FLAIR MR image.
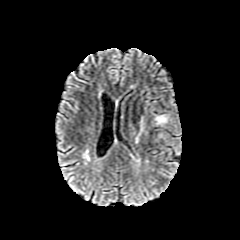
T1-weighted magnetic resonance.
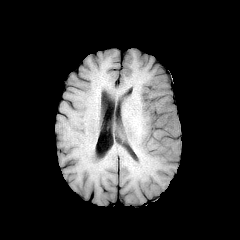
Post-contrast T1-weighted magnetic resonance.
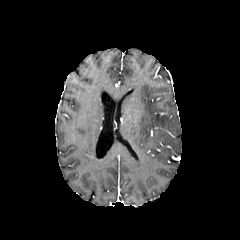
T2-weighted MRI.
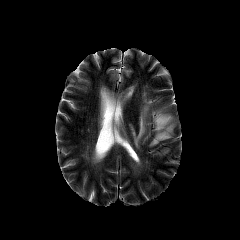
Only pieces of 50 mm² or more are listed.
peritumoral edema: bounding box [156, 116, 168, 124], [135, 116, 143, 143]